Image size 240x240; Slice 71/155; Brain
FLAIR MR image.
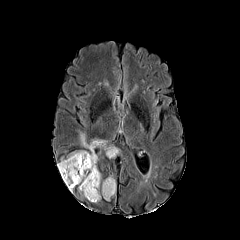
T1-weighted magnetic resonance.
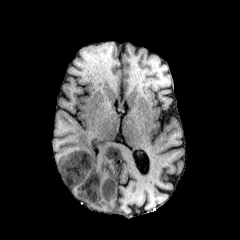
Post-contrast T1-weighted magnetic resonance.
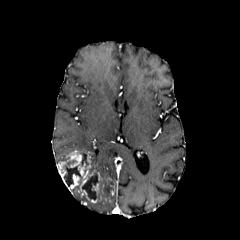
T2-weighted MR image.
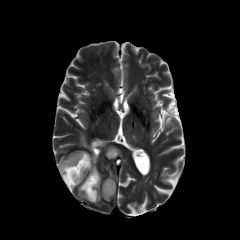
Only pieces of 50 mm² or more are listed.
Segmented structures:
• necrotic tumor core: <box>82,174,98,200</box>, <box>64,166,81,186</box>, <box>103,181,113,193</box>, <box>81,153,88,165</box>
• enhancing tumor: <box>57,150,101,202</box>
• peritumoral edema: <box>102,192,111,200</box>, <box>106,145,118,158</box>, <box>80,134,107,172</box>